FLAIR MR image.
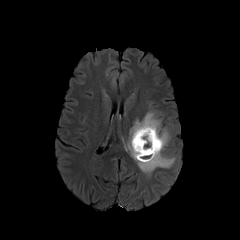
T1-weighted MR.
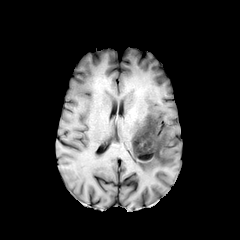
Post-contrast T1-weighted magnetic resonance.
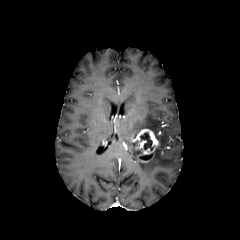
T2-weighted MRI.
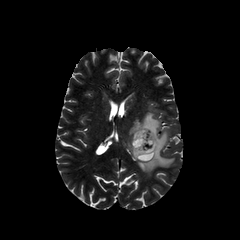
Head
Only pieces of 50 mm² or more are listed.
<segmentation>
  <necrotic_tumor_core><box>139,154,152,160</box>, <box>140,132,153,150</box></necrotic_tumor_core>
  <peritumoral_edema><box>127,111,175,174</box></peritumoral_edema>
  <enhancing_tumor><box>132,129,159,158</box></enhancing_tumor>
</segmentation>